Axial view; Brain; Image size 240x240
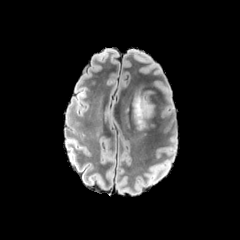
FLAIR magnetic resonance.
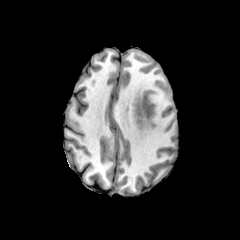
T1-weighted MRI.
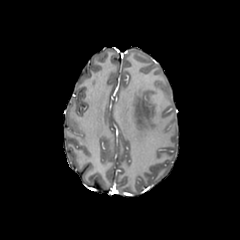
Post-contrast T1-weighted magnetic resonance of the same slice.
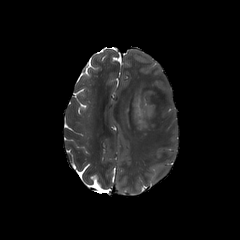
T2-weighted MR.
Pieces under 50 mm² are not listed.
Annotated regions:
- peritumoral edema: [133, 93, 153, 130]